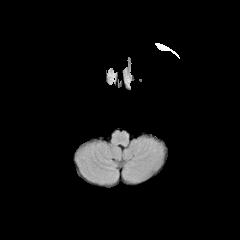
FLAIR MR.
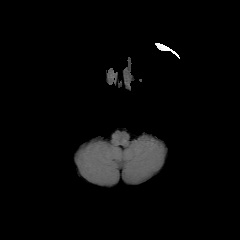
T1-weighted MR image.
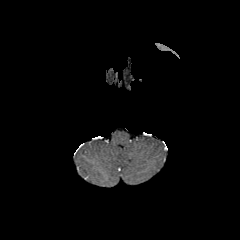
Post-contrast T1-weighted MRI.
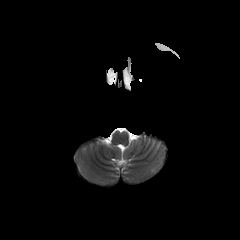
T2-weighted MRI.
Axial view; Head
The peritumoral edema appears at [x1=107, y1=68, x2=117, y2=84].